Axial view; Slice 106/155
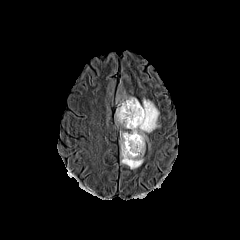
FLAIR MRI.
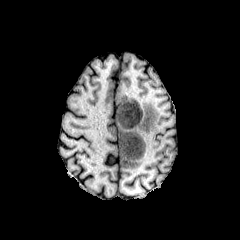
T1-weighted MR.
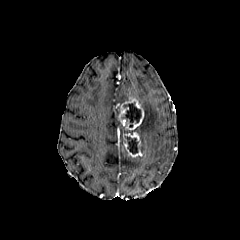
Same slice, post-contrast T1-weighted MR.
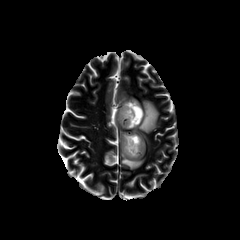
T2-weighted MR of the same slice.
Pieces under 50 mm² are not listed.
enhancing tumor: bounding box 117 97 144 130, 122 132 143 157
necrotic tumor core: bounding box 125 136 138 154, 122 102 141 122
peritumoral edema: bounding box 114 99 159 169